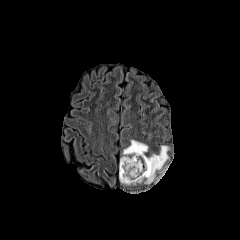
FLAIR MRI.
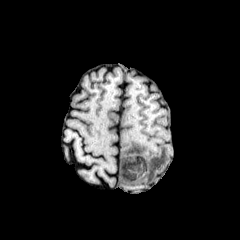
T1-weighted MR image.
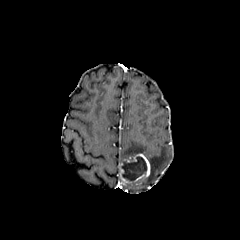
Post-contrast T1-weighted MR.
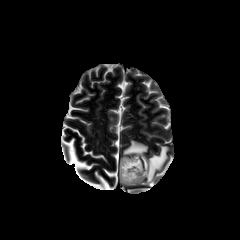
T2-weighted magnetic resonance.
Image size 240x240.
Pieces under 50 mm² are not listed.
Findings:
• peritumoral edema: 120,140,148,161; 143,146,168,183
• enhancing tumor: 119,153,150,185
• necrotic tumor core: 121,157,146,180